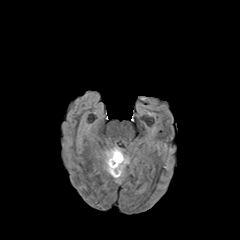
FLAIR MR.
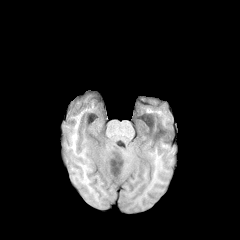
T1-weighted MRI.
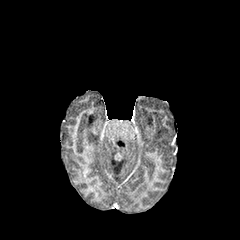
Post-contrast T1-weighted MR image.
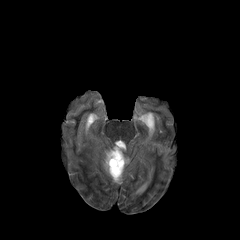
T2-weighted MRI.
240x240; Brain
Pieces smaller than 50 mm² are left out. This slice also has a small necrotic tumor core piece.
peritumoral edema = [x1=104, y1=146, x2=129, y2=181]
enhancing tumor = [x1=112, y1=152, x2=121, y2=168]